Head
FLAIR magnetic resonance.
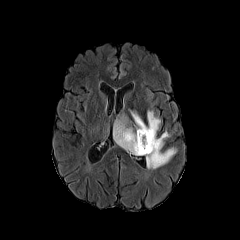
T1-weighted magnetic resonance.
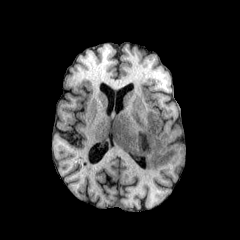
Post-contrast T1-weighted magnetic resonance.
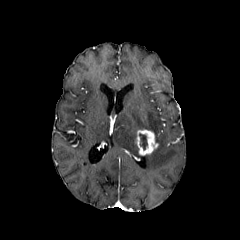
T2-weighted magnetic resonance.
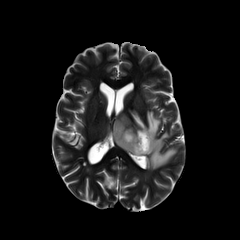
enhancing tumor = l=134, t=129, r=158, b=154
peritumoral edema = l=113, t=110, r=160, b=155; l=145, t=131, r=176, b=169
necrotic tumor core = l=139, t=134, r=147, b=150